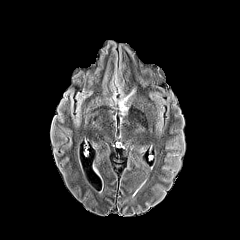
FLAIR MRI.
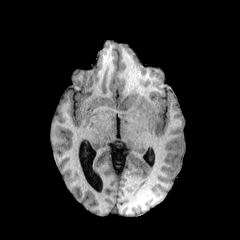
Same slice, T1-weighted MR image.
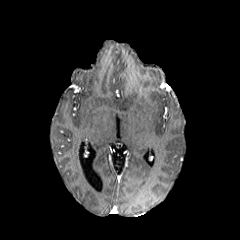
Same slice, post-contrast T1-weighted MRI.
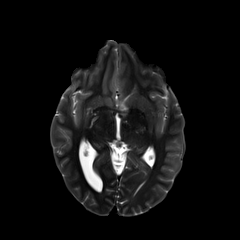
Same slice, T2-weighted MR image.
Axial slice
peritumoral edema: bounding box (118,89,135,115)